Brain; Slice 53/155
FLAIR MR image.
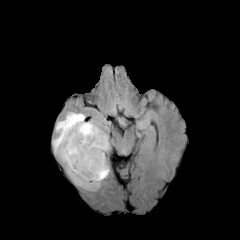
T1-weighted magnetic resonance.
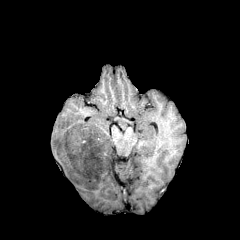
Post-contrast T1-weighted MR.
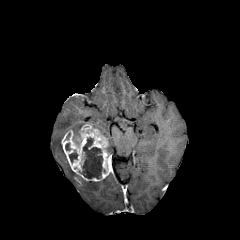
T2-weighted MR image.
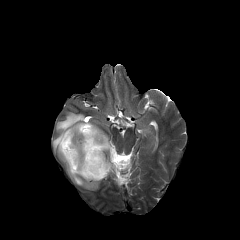
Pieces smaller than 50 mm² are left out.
The 2 largest necrotic tumor core regions appear at (80,138,105,178), (69,152,77,162). The largest enhancing tumor region is at (60,123,110,181). The largest peritumoral edema region lies within (52,112,111,190).